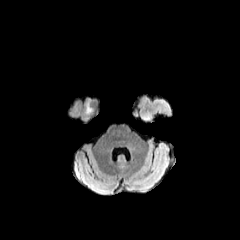
FLAIR magnetic resonance.
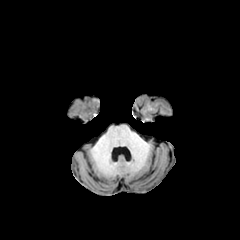
T1-weighted magnetic resonance of the same slice.
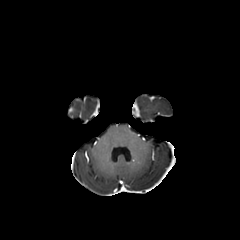
Post-contrast T1-weighted magnetic resonance of the same slice.
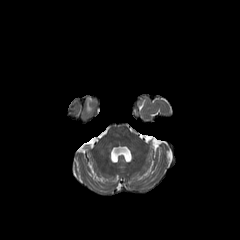
T2-weighted MR of the same slice.
Image size 240x240
The peritumoral edema lies within left=84, top=100, right=93, bottom=116.